FLAIR MRI.
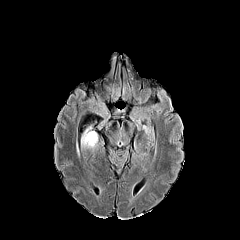
T1-weighted MR image.
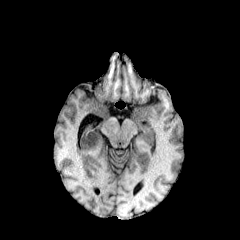
Post-contrast T1-weighted MR image.
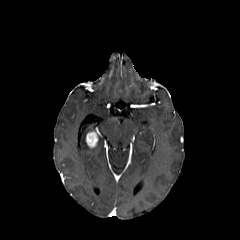
T2-weighted magnetic resonance.
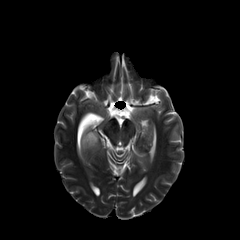
Axial plane; 240x240 px
enhancing tumor = box=[86, 131, 98, 148]
peritumoral edema = box=[81, 127, 91, 149]